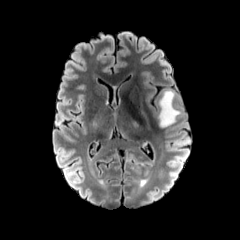
FLAIR MR.
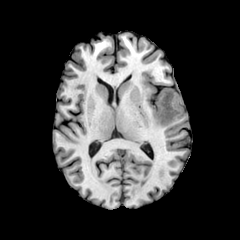
T1-weighted MRI of the same slice.
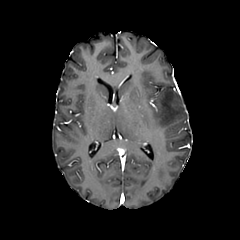
Post-contrast T1-weighted MR.
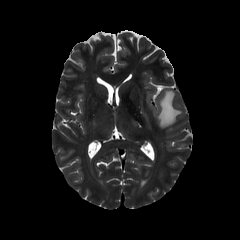
T2-weighted MR image.
240x240 px, Axial view, Brain
The peritumoral edema is at (158, 89, 181, 127).